Axial slice, Slice 118/155, Head
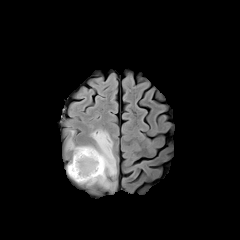
FLAIR MR image.
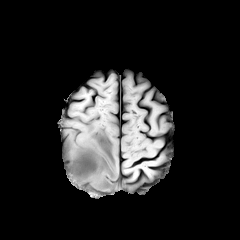
Same slice, T1-weighted MR.
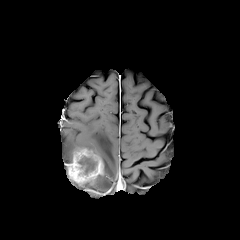
Same slice, post-contrast T1-weighted MR image.
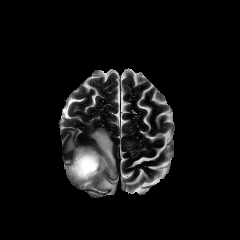
T2-weighted MRI.
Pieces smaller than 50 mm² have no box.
<segmentation>
  <peritumoral_edema>(x1=68, y1=139, x2=74, y2=149), (x1=96, y1=175, x2=112, y2=188), (x1=82, y1=129, x2=116, y2=176)</peritumoral_edema>
  <enhancing_tumor>(x1=67, y1=145, x2=105, y2=184)</enhancing_tumor>
  <necrotic_tumor_core>(x1=79, y1=157, x2=96, y2=174)</necrotic_tumor_core>
</segmentation>